FLAIR MR.
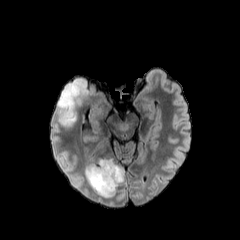
T1-weighted magnetic resonance.
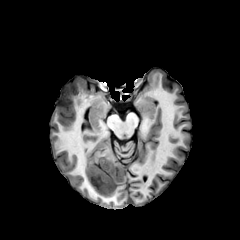
Post-contrast T1-weighted magnetic resonance.
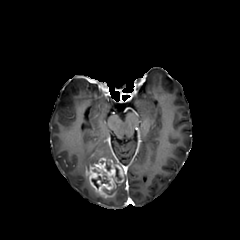
T2-weighted MRI.
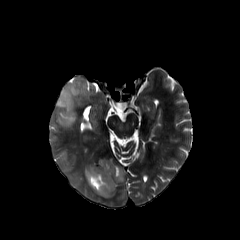
Head | Axial slice
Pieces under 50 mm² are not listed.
necrotic tumor core: {"x1": 115, "y1": 167, "x2": 121, "y2": 180} | enhancing tumor: {"x1": 85, "y1": 157, "x2": 125, "y2": 197} | peritumoral edema: {"x1": 57, "y1": 78, "x2": 88, "y2": 124}, {"x1": 105, "y1": 177, "x2": 124, "y2": 198}